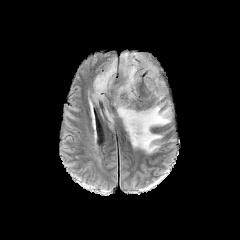
FLAIR magnetic resonance.
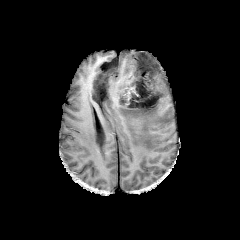
T1-weighted magnetic resonance.
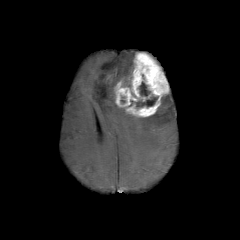
Post-contrast T1-weighted MRI of the same slice.
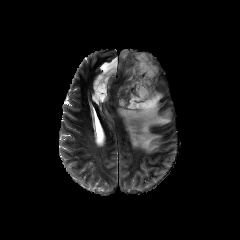
T2-weighted MR of the same slice.
240x240 px | Axial view
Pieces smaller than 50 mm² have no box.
necrotic tumor core: bbox(136, 97, 157, 107); bbox(139, 82, 150, 96)
peritumoral edema: bbox(93, 52, 171, 153)
enhancing tumor: bbox(114, 52, 168, 117)